FLAIR magnetic resonance.
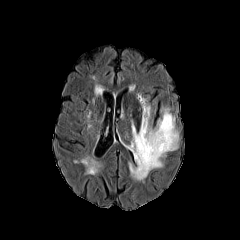
T1-weighted MR.
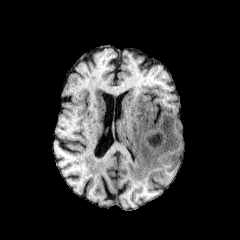
Post-contrast T1-weighted MRI.
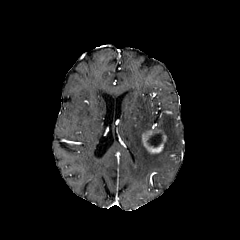
T2-weighted MR image.
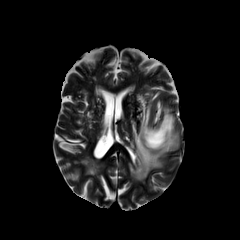
Axial slice; Brain
{"peritumoral_edema": ["rect(128, 95, 178, 180)"], "enhancing_tumor": ["rect(142, 126, 166, 153)"], "necrotic_tumor_core": ["rect(147, 132, 162, 146)"]}